Axial view. Slice index 94. Image covers 240 mm x 240 mm.
FLAIR MR.
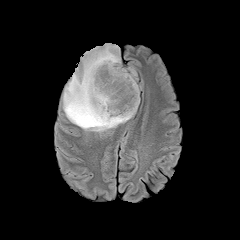
T1-weighted MR image.
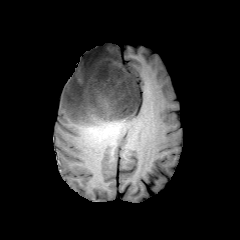
Post-contrast T1-weighted MRI.
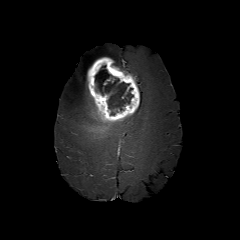
T2-weighted MRI.
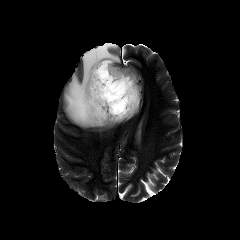
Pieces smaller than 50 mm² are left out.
Annotated regions:
• necrotic tumor core: 95, 65, 133, 110
• peritumoral edema: 63, 43, 134, 131
• enhancing tumor: 87, 57, 139, 123